Axial plane
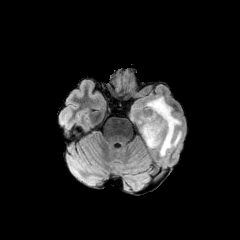
FLAIR MRI.
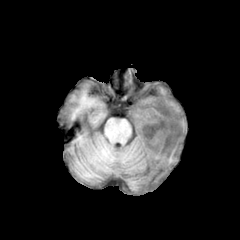
T1-weighted MR image of the same slice.
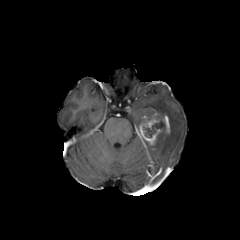
Post-contrast T1-weighted MRI.
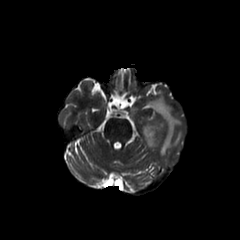
Same slice, T2-weighted MRI.
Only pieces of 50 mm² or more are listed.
enhancing tumor: bounding box <bbox>138, 109, 170, 145</bbox>
peritumoral edema: bounding box <bbox>146, 96, 182, 156</bbox>
necrotic tumor core: bounding box <bbox>145, 120, 165, 137</bbox>